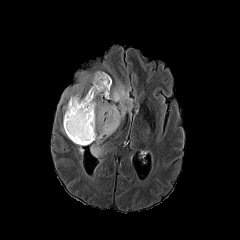
FLAIR MRI.
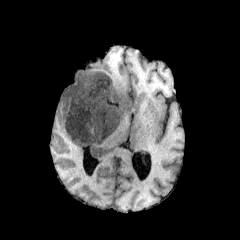
T1-weighted MR image of the same slice.
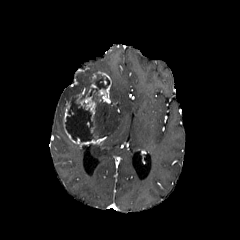
Post-contrast T1-weighted MR.
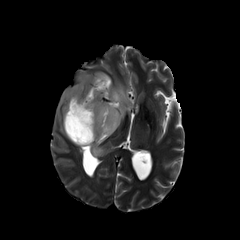
Same slice, T2-weighted MR.
Axial plane. Brain.
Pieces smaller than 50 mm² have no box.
enhancing tumor: (63, 71, 111, 146) | necrotic tumor core: (65, 96, 93, 141), (88, 75, 109, 96) | peritumoral edema: (96, 78, 133, 138), (91, 144, 102, 157), (59, 73, 92, 105)